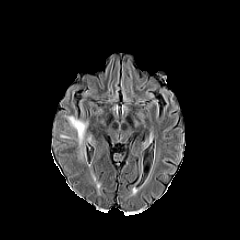
FLAIR MRI.
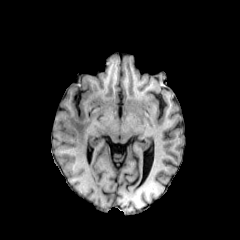
T1-weighted MR.
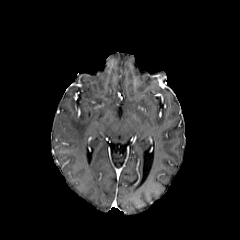
Post-contrast T1-weighted magnetic resonance of the same slice.
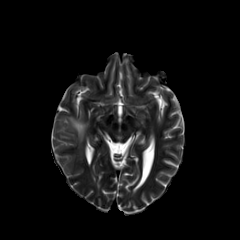
T2-weighted MR.
Brain | 240x240 px
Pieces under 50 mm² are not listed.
{"peritumoral_edema": ["x1=67, y1=116, x2=87, y2=146"]}